Brain, Axial slice
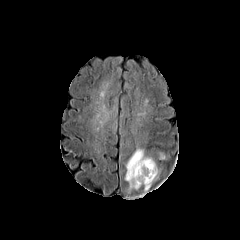
FLAIR magnetic resonance.
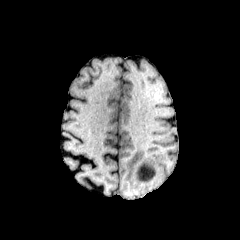
T1-weighted MR of the same slice.
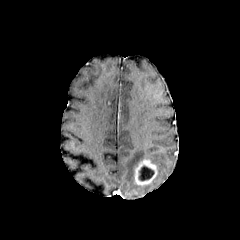
Post-contrast T1-weighted MR.
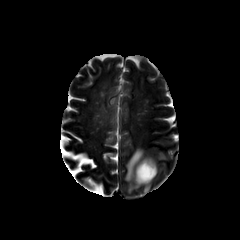
T2-weighted MR image of the same slice.
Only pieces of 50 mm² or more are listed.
The necrotic tumor core is located at rect(139, 166, 153, 180). The largest peritumoral edema region is bounded by rect(125, 148, 155, 191). The enhancing tumor is bounded by rect(134, 159, 157, 185).